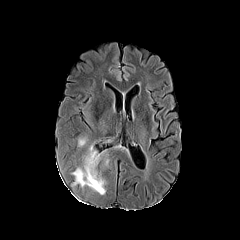
FLAIR MR image.
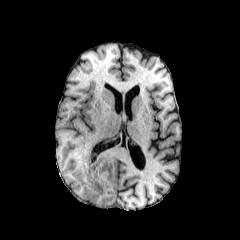
T1-weighted MR.
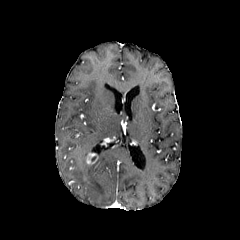
Post-contrast T1-weighted MR.
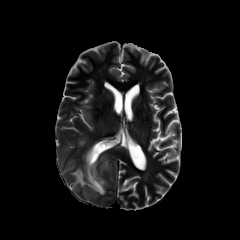
T2-weighted MR image.
Axial slice
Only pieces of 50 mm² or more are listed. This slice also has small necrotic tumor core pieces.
- enhancing tumor: rect(85, 152, 98, 165)
- peritumoral edema: rect(72, 159, 105, 194)